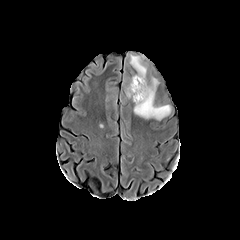
FLAIR MRI.
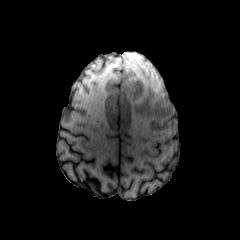
T1-weighted MR image.
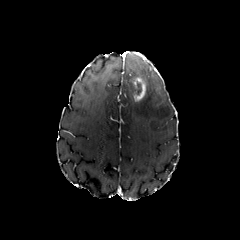
Post-contrast T1-weighted MR of the same slice.
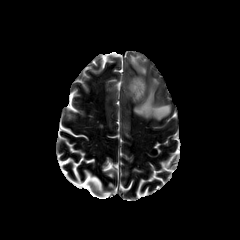
T2-weighted MR.
Axial slice
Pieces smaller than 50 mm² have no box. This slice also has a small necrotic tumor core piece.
{"enhancing_tumor": ["region(133, 77, 145, 101)"], "peritumoral_edema": ["region(134, 89, 170, 120)"]}